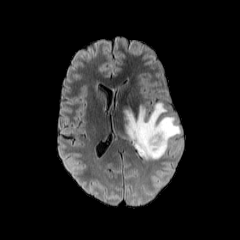
FLAIR MR image.
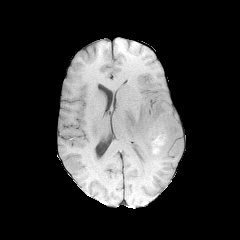
T1-weighted MR image.
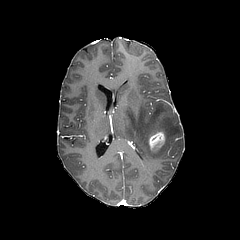
Post-contrast T1-weighted MRI of the same slice.
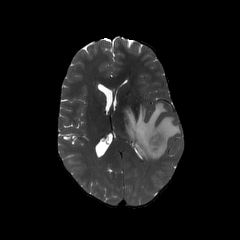
Same slice, T2-weighted MR image.
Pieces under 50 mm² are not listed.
enhancing_tumor:
  - (148,130,165,150)
peritumoral_edema:
  - (125,102,181,159)